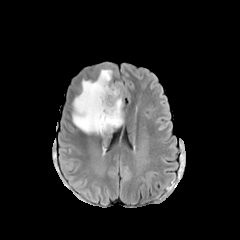
FLAIR MRI.
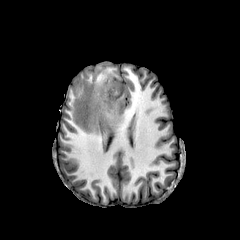
T1-weighted MR image of the same slice.
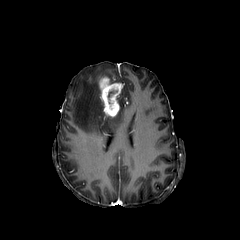
Post-contrast T1-weighted MRI.
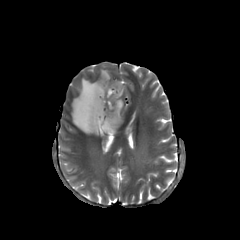
T2-weighted magnetic resonance.
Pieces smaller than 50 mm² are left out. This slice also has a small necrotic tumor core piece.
<segmentation>
  <enhancing_tumor>(x1=99, y1=77, x2=123, y2=116)</enhancing_tumor>
  <peritumoral_edema>(x1=72, y1=69, x2=125, y2=136)</peritumoral_edema>
</segmentation>